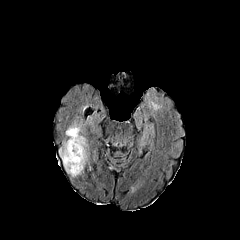
FLAIR MR.
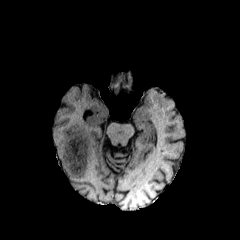
T1-weighted magnetic resonance.
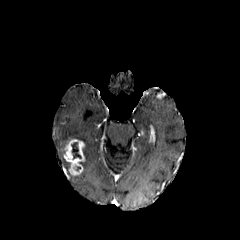
Post-contrast T1-weighted MR of the same slice.
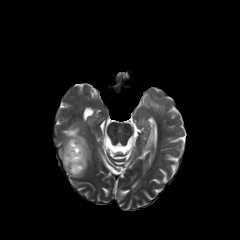
T2-weighted magnetic resonance.
240x240 px
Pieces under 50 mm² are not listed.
necrotic tumor core = (71, 142, 81, 160)
peritumoral edema = (59, 122, 89, 177)
enhancing tumor = (64, 139, 84, 175)